Image width 240 mm, 1.00 mm slice spacing | Slice 73 of 155 | Axial slice
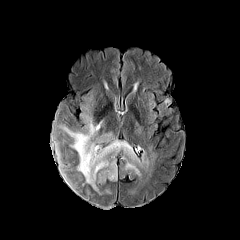
FLAIR MR image.
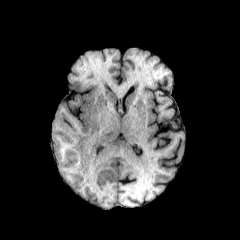
Same slice, T1-weighted MR image.
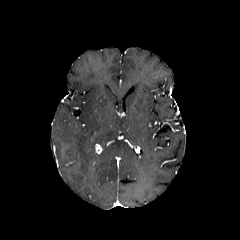
Post-contrast T1-weighted MR image of the same slice.
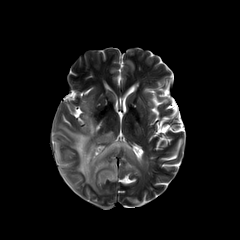
T2-weighted magnetic resonance.
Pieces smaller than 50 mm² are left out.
The 5 largest peritumoral edema regions are located at 96,133,112,142; 64,150,73,158; 62,100,140,190; 61,168,81,186; 55,143,59,158. The enhancing tumor is at 95,144,101,153.